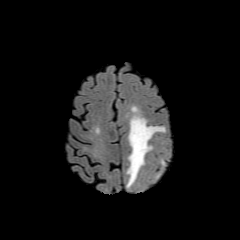
FLAIR magnetic resonance.
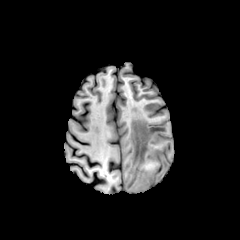
T1-weighted MRI.
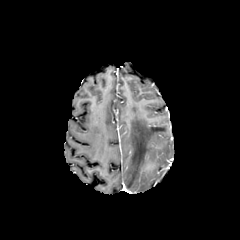
Same slice, post-contrast T1-weighted MR.
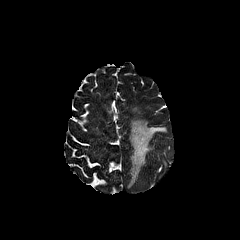
T2-weighted MRI of the same slice.
Axial view | Brain
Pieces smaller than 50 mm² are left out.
- peritumoral edema: {"x1": 127, "y1": 115, "x2": 165, "y2": 187}